Head. Image width 240 mm, 1.00 mm slice spacing. Slice 66/155.
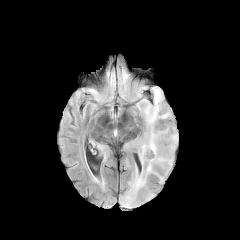
FLAIR MR.
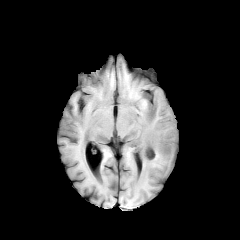
Same slice, T1-weighted MR image.
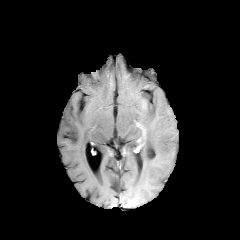
Post-contrast T1-weighted magnetic resonance.
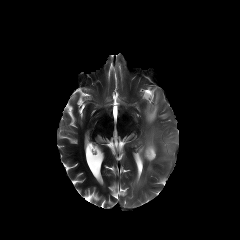
Same slice, T2-weighted magnetic resonance.
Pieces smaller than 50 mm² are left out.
The 4 largest peritumoral edema regions are located at 139, 126, 157, 173; 157, 157, 168, 162; 136, 174, 145, 184; 145, 107, 157, 124.